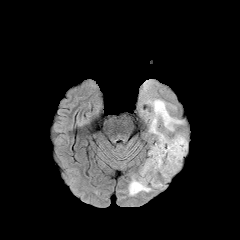
FLAIR MRI.
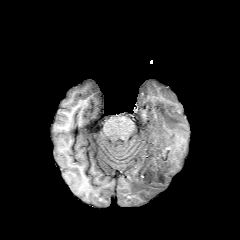
T1-weighted MRI of the same slice.
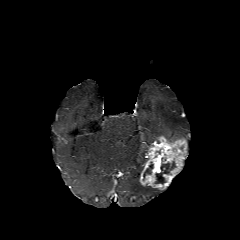
Post-contrast T1-weighted MR image.
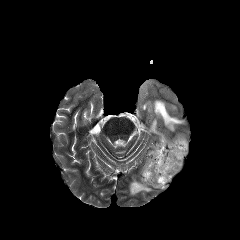
T2-weighted MR image of the same slice.
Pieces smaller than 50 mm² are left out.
2 necrotic tumor core regions are located at bbox=[143, 164, 152, 177]; bbox=[155, 162, 175, 183]. The 2 largest peritumoral edema regions appear at bbox=[129, 177, 152, 195]; bbox=[149, 99, 184, 140]. The enhancing tumor lies within bbox=[139, 135, 187, 189].